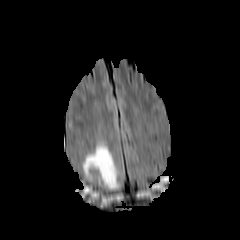
FLAIR MRI.
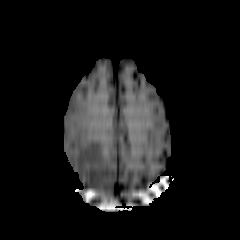
Same slice, T1-weighted MR image.
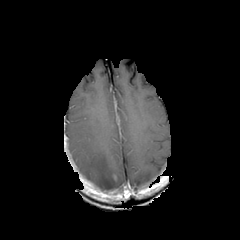
Post-contrast T1-weighted MR image of the same slice.
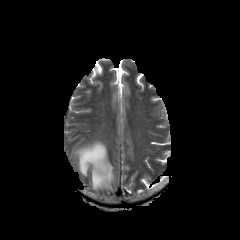
T2-weighted MRI.
Head, Axial view
Segmented structures:
• peritumoral edema: bbox(82, 141, 118, 189)